Brain
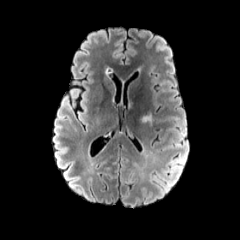
FLAIR MR.
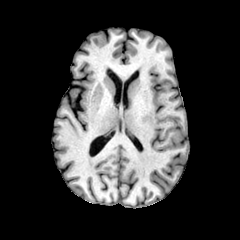
T1-weighted MR of the same slice.
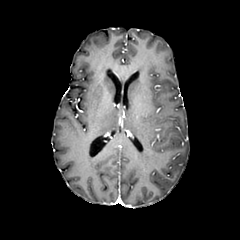
Post-contrast T1-weighted MR image.
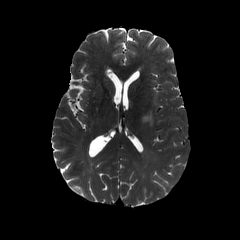
T2-weighted MR.
Annotated regions:
• peritumoral edema: [140, 114, 152, 122]